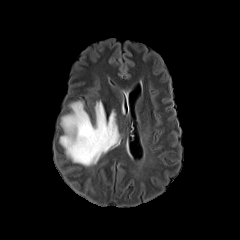
FLAIR magnetic resonance.
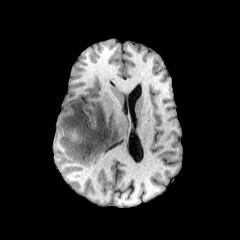
T1-weighted magnetic resonance of the same slice.
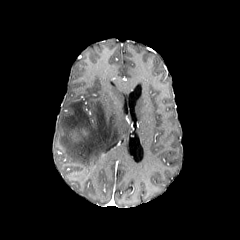
Post-contrast T1-weighted MRI of the same slice.
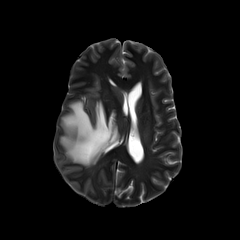
T2-weighted MRI.
peritumoral edema — 60, 101, 120, 166